FLAIR MR image.
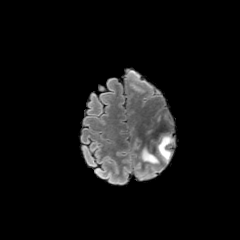
T1-weighted MR image.
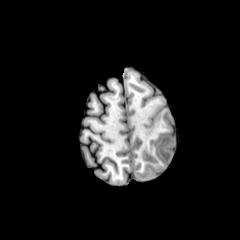
Post-contrast T1-weighted MR image.
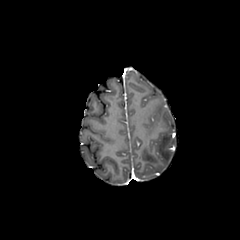
T2-weighted magnetic resonance.
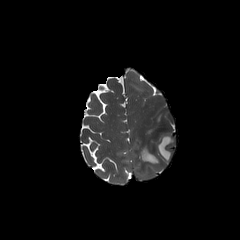
Head; 240x240 px; Axial view
<segmentation>
  <peritumoral_edema>x1=141 y1=148 x2=159 y2=163, x1=157 y1=134 x2=174 y2=163</peritumoral_edema>
</segmentation>